Axial plane | Slice 83 of 155 | Image width 240 mm
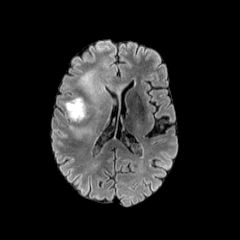
FLAIR MR.
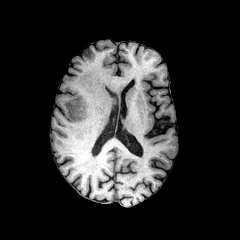
T1-weighted MRI.
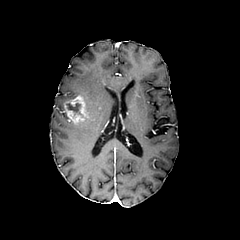
Same slice, post-contrast T1-weighted MRI.
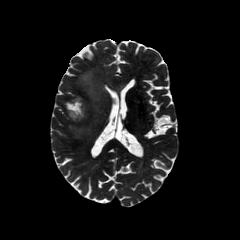
Same slice, T2-weighted MR.
peritumoral edema at 79:70:105:100, 70:126:86:136, 107:83:125:94, 102:58:106:79
necrotic tumor core at 67:103:80:112
enhancing tumor at 64:95:88:123